FLAIR magnetic resonance.
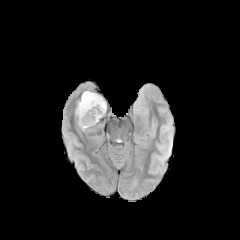
T1-weighted MR.
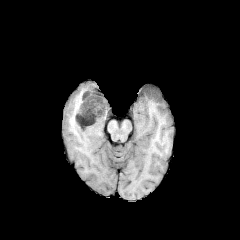
Post-contrast T1-weighted MR.
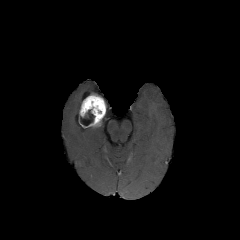
T2-weighted magnetic resonance.
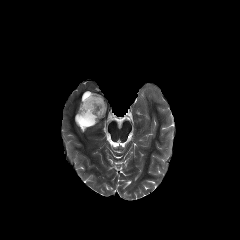
240x240
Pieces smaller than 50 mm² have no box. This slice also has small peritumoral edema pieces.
necrotic_tumor_core:
  - (x1=80, y1=109, x2=94, y2=125)
enhancing_tumor:
  - (x1=79, y1=93, x2=106, y2=128)